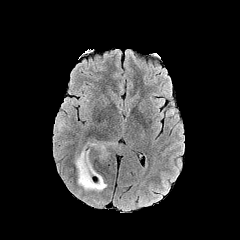
FLAIR MRI.
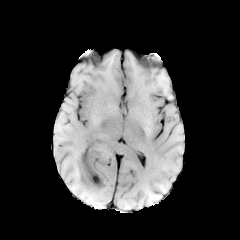
T1-weighted magnetic resonance of the same slice.
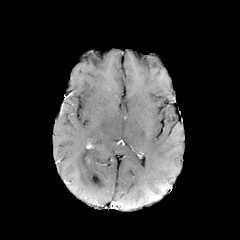
Post-contrast T1-weighted MR image of the same slice.
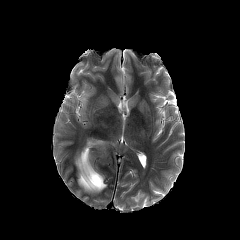
Same slice, T2-weighted MR image.
Brain, 240x240 px
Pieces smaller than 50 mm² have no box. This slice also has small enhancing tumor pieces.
peritumoral edema: box=[88, 140, 111, 157]; box=[74, 143, 107, 192]